FLAIR magnetic resonance.
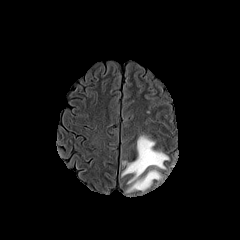
T1-weighted MR image.
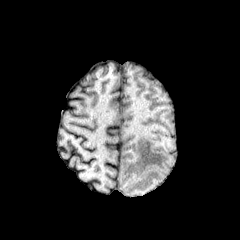
Post-contrast T1-weighted MR image.
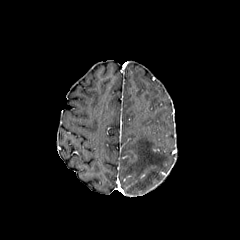
T2-weighted MRI.
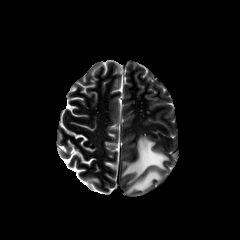
Brain
The peritumoral edema is located at rect(121, 135, 168, 192).